FLAIR magnetic resonance.
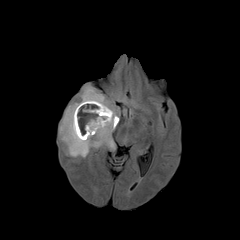
T1-weighted MR image.
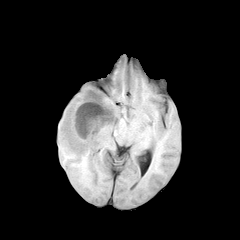
Post-contrast T1-weighted magnetic resonance.
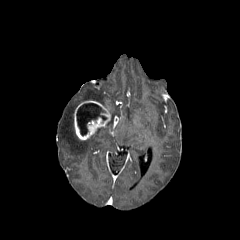
T2-weighted MR image.
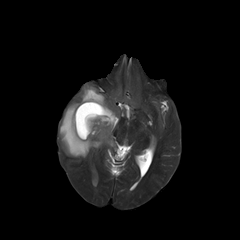
Axial view
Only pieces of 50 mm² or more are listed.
The necrotic tumor core lies within x1=76, y1=103, x2=106, y2=135. The largest enhancing tumor region lies within x1=74, y1=100, x2=110, y2=140. The peritumoral edema is at x1=59, y1=84, x2=117, y2=157.